240x240 px | Axial plane
FLAIR MR.
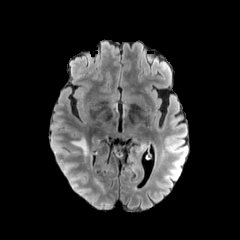
T1-weighted MR.
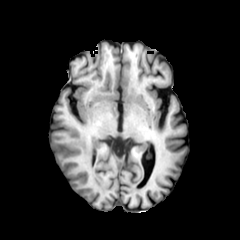
Post-contrast T1-weighted MR image.
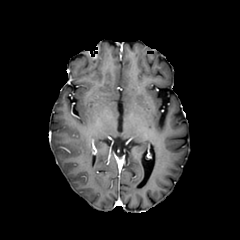
T2-weighted MR.
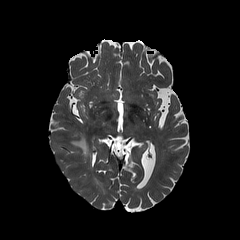
peritumoral edema: bounding box x1=72 y1=138 x2=87 y2=154